FLAIR MRI.
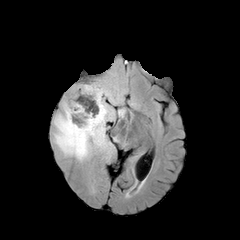
T1-weighted MR.
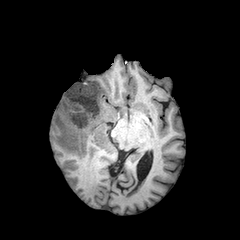
Post-contrast T1-weighted magnetic resonance.
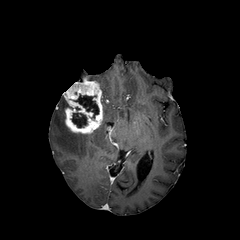
T2-weighted MR.
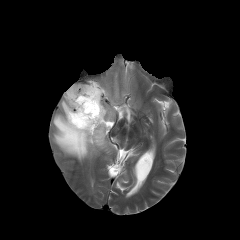
Head; Axial view
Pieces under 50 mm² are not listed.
<segmentation>
  <enhancing_tumor>{"x1": 63, "y1": 81, "x2": 103, "y2": 134}</enhancing_tumor>
  <peritumoral_edema>{"x1": 53, "y1": 82, "x2": 117, "y2": 160}, {"x1": 118, "y1": 109, "x2": 125, "y2": 117}</peritumoral_edema>
  <necrotic_tumor_core>{"x1": 72, "y1": 113, "x2": 87, "y2": 127}, {"x1": 75, "y1": 94, "x2": 98, "y2": 118}</necrotic_tumor_core>
</segmentation>